FLAIR MRI.
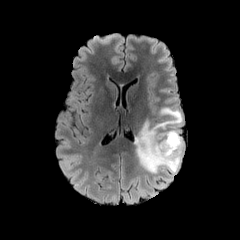
T1-weighted MR.
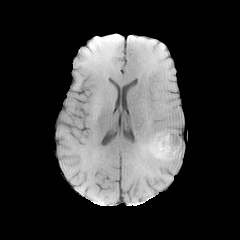
Post-contrast T1-weighted MRI.
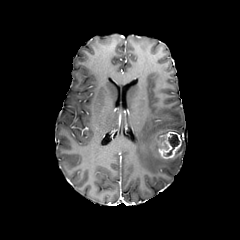
T2-weighted MR image.
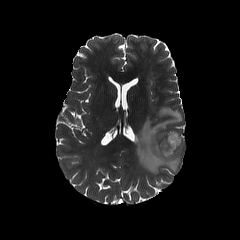
Head | 240x240 px | Axial plane
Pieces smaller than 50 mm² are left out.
The enhancing tumor lies within region(158, 131, 182, 159). The peritumoral edema is located at region(134, 107, 184, 180). The largest necrotic tumor core region lies within region(165, 134, 179, 155).